FLAIR MRI.
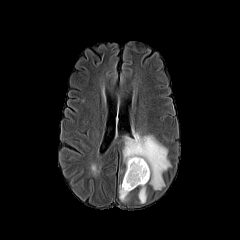
T1-weighted MR image.
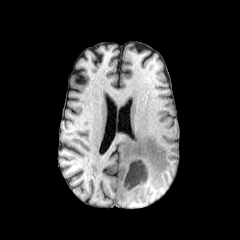
Post-contrast T1-weighted magnetic resonance.
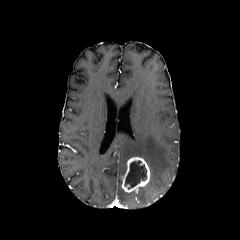
T2-weighted MRI.
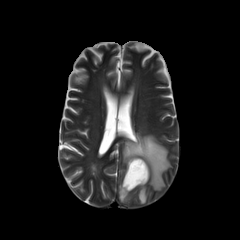
necrotic tumor core = box(124, 161, 146, 189)
peritumoral edema = box(138, 186, 146, 203); box(123, 130, 170, 190); box(119, 184, 129, 201)
enhancing tumor = box(121, 156, 150, 192)